FLAIR MRI.
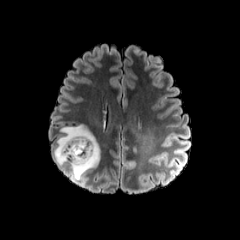
T1-weighted MR image.
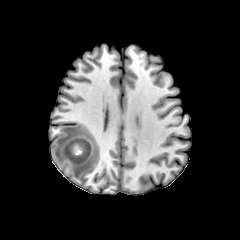
Post-contrast T1-weighted MRI.
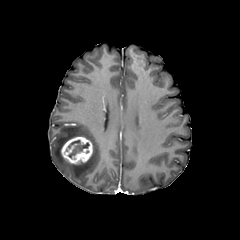
T2-weighted MR image.
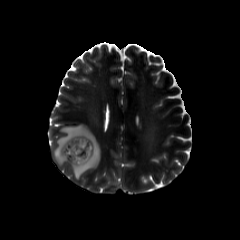
Brain
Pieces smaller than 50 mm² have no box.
enhancing tumor = <box>60,136,93,164</box>
necrotic tumor core = <box>68,140,89,157</box>
peritumoral edema = <box>53,124,100,181</box>